FLAIR magnetic resonance.
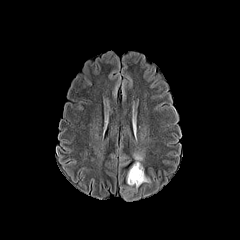
T1-weighted MR.
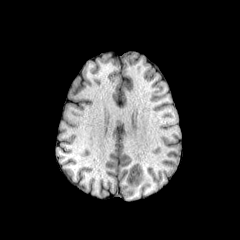
Post-contrast T1-weighted MR image.
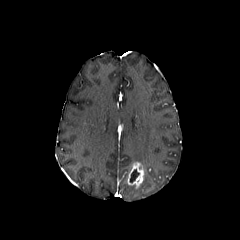
T2-weighted magnetic resonance.
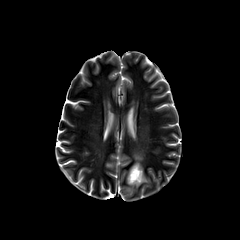
Image size 240x240. Axial plane. Head.
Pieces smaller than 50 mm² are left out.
enhancing tumor at bbox=[126, 162, 144, 188]
peritumoral edema at bbox=[134, 153, 142, 162]
necrotic tumor core at bbox=[130, 169, 139, 182]